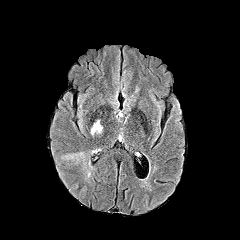
FLAIR MR.
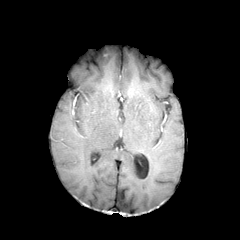
T1-weighted MR image.
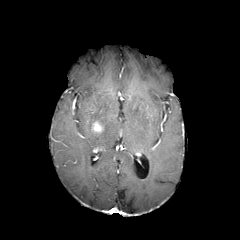
Post-contrast T1-weighted MR image of the same slice.
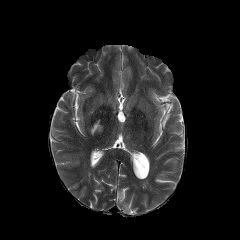
T2-weighted MR image.
Image size 240x240
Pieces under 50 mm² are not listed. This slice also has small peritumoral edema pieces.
enhancing tumor: box(93, 122, 102, 132)